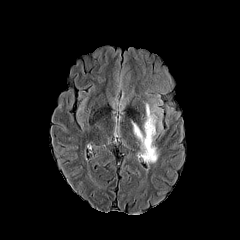
FLAIR MR image.
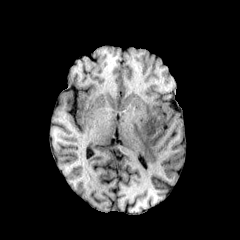
T1-weighted MRI.
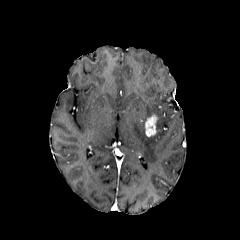
Post-contrast T1-weighted magnetic resonance.
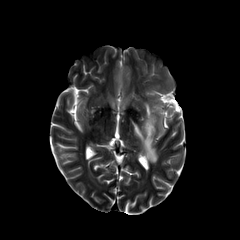
Same slice, T2-weighted MR.
Head.
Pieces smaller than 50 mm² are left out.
Findings:
• peritumoral edema: (x1=146, y1=103, x2=158, y2=119), (x1=132, y1=122, x2=158, y2=163)
• enhancing tumor: (x1=145, y1=115, x2=157, y2=136)